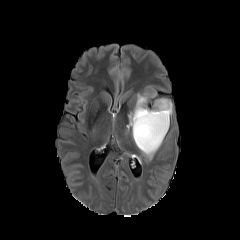
FLAIR MR.
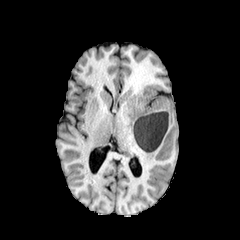
T1-weighted MR.
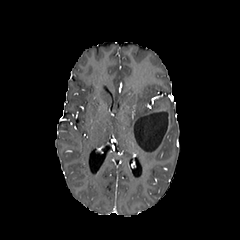
Post-contrast T1-weighted magnetic resonance.
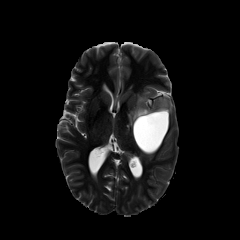
T2-weighted MR.
240x240.
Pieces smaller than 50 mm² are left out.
peritumoral edema = [127, 93, 172, 159]